FLAIR magnetic resonance.
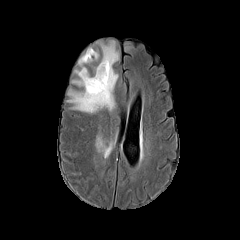
T1-weighted MRI.
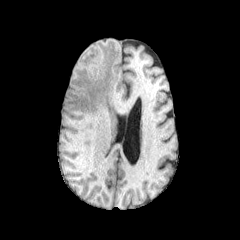
Post-contrast T1-weighted MRI.
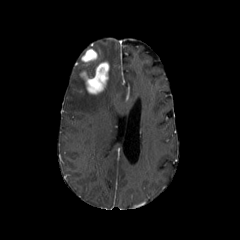
T2-weighted magnetic resonance.
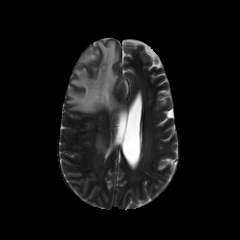
Brain. Image size 240x240. Axial view.
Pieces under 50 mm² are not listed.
peritumoral_edema:
  - (left=67, top=41, right=118, bottom=112)
  - (left=96, top=135, right=108, bottom=153)
enhancing_tumor:
  - (left=80, top=61, right=109, bottom=94)
  - (left=81, top=48, right=97, bottom=62)